FLAIR MR.
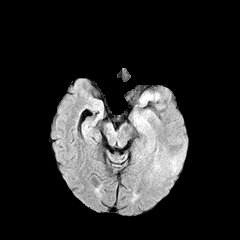
T1-weighted magnetic resonance.
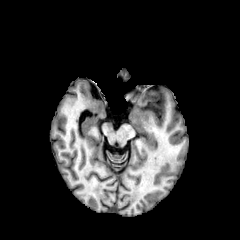
Post-contrast T1-weighted magnetic resonance.
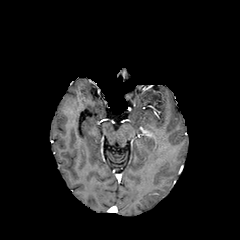
T2-weighted MR image.
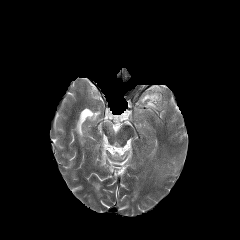
Axial plane | Brain | Image size 240x240
2 peritumoral edema regions are located at bbox=[140, 94, 159, 102]; bbox=[136, 118, 147, 125].